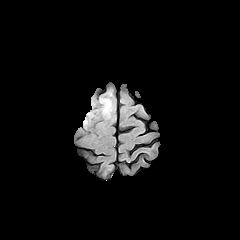
FLAIR MR.
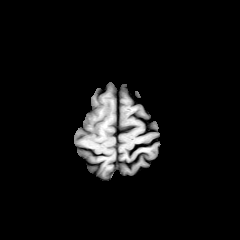
T1-weighted MR image.
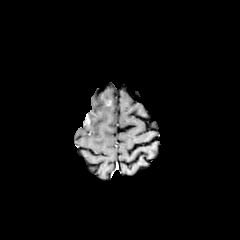
Same slice, post-contrast T1-weighted MR.
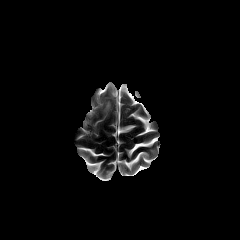
Same slice, T2-weighted MRI.
Head; Axial plane
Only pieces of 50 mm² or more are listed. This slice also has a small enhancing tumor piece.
peritumoral edema: bbox=[101, 99, 111, 116]